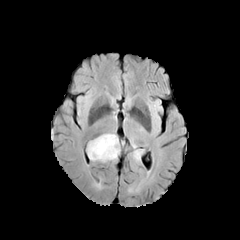
FLAIR MR image.
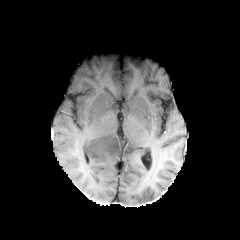
T1-weighted MR.
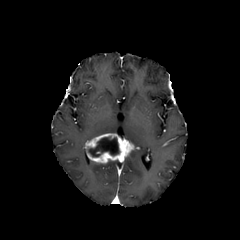
Same slice, post-contrast T1-weighted MR.
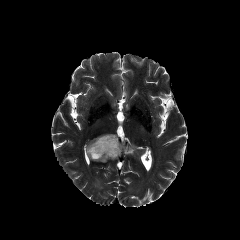
Same slice, T2-weighted MR.
Brain, Axial view
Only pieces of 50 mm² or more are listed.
The largest peritumoral edema region is at box=[129, 138, 142, 161]. The necrotic tumor core is bounded by box=[88, 137, 119, 156]. The largest enhancing tumor region is at box=[85, 133, 134, 163].